FLAIR MRI.
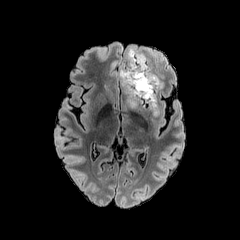
T1-weighted magnetic resonance.
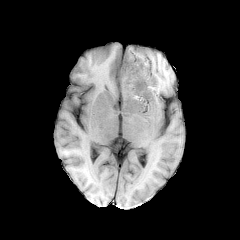
Post-contrast T1-weighted MRI.
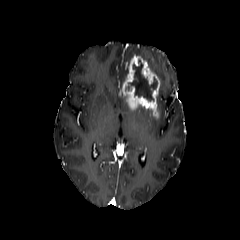
T2-weighted MR.
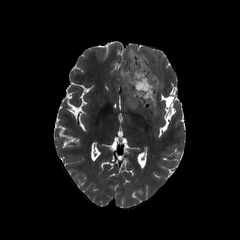
Brain, Axial slice, 240x240 px
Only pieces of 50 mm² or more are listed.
The necrotic tumor core is bounded by <box>126,61,157,100</box>. The enhancing tumor is located at <box>122,55,160,117</box>. The 2 largest peritumoral edema regions appear at <box>127,46,147,64</box>, <box>119,64,128,90</box>.